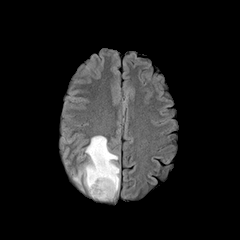
FLAIR MRI.
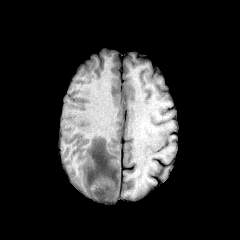
T1-weighted MRI of the same slice.
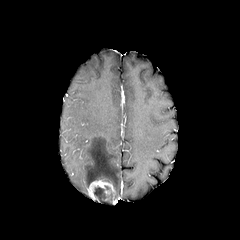
Post-contrast T1-weighted MR of the same slice.
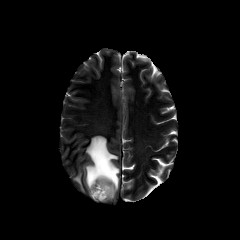
T2-weighted MRI.
Brain. Axial plane.
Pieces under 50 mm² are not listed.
enhancing tumor: (left=87, top=179, right=115, bottom=201) | necrotic tumor core: (left=94, top=187, right=106, bottom=200) | peritumoral edema: (left=73, top=135, right=119, bottom=194)